Slice 60/155, Brain
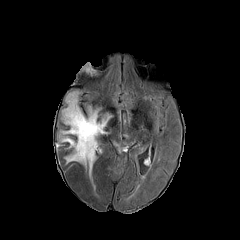
FLAIR MR image.
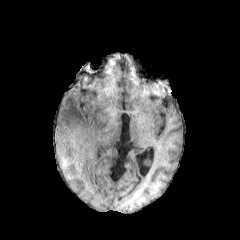
T1-weighted MR.
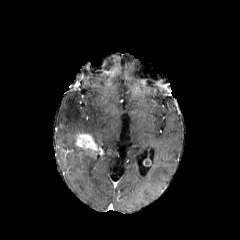
Post-contrast T1-weighted MR image.
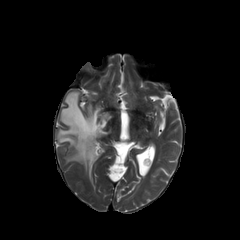
T2-weighted magnetic resonance.
peritumoral edema at left=58, top=91, right=111, bottom=176
enhancing tumor at left=75, top=133, right=100, bottom=158